FLAIR magnetic resonance.
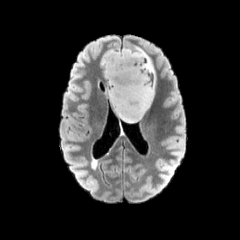
T1-weighted magnetic resonance.
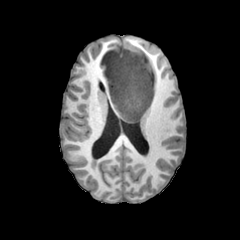
Post-contrast T1-weighted magnetic resonance.
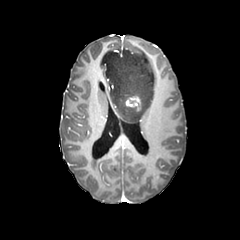
T2-weighted MR.
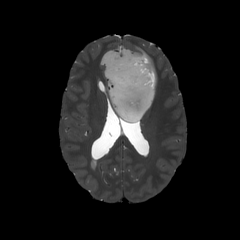
Brain; Axial view; Image size 240x240
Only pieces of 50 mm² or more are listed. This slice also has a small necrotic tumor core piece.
The peritumoral edema is located at (x1=101, y1=46, x2=155, y2=122). The enhancing tumor appears at (x1=125, y1=96, x2=141, y2=111).